Head | Slice 80/155 | Axial view
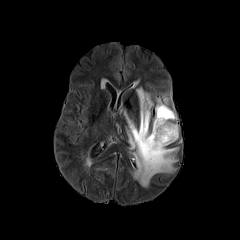
FLAIR MR image.
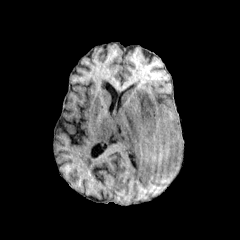
T1-weighted MRI.
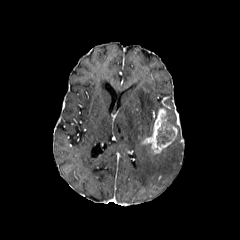
Post-contrast T1-weighted MR.
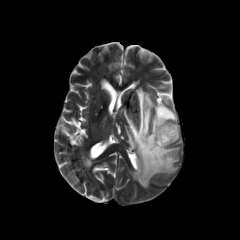
T2-weighted MR image of the same slice.
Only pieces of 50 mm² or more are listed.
{"peritumoral_edema": ["153, 98, 165, 126", "124, 88, 178, 187"], "enhancing_tumor": ["142, 108, 177, 153"], "necrotic_tumor_core": ["156, 108, 177, 144"]}